FLAIR magnetic resonance.
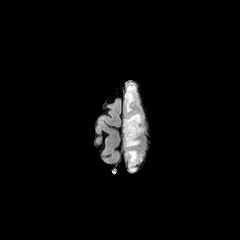
T1-weighted MR image.
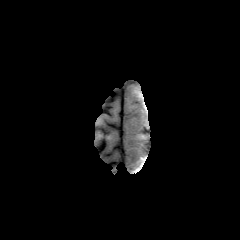
Post-contrast T1-weighted MR image.
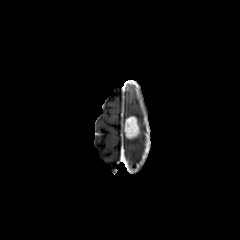
T2-weighted magnetic resonance.
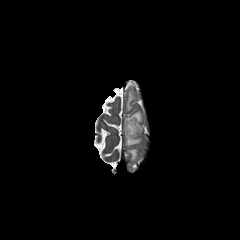
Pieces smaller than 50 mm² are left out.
enhancing tumor: x1=124 y1=116 x2=139 y2=138 | peritumoral edema: x1=126 y1=111 x2=142 y2=133, x1=125 y1=86 x2=137 y2=112, x1=125 y1=136 x2=141 y2=165